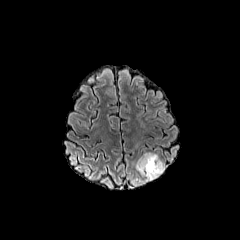
FLAIR MR.
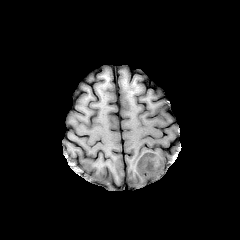
T1-weighted MR image.
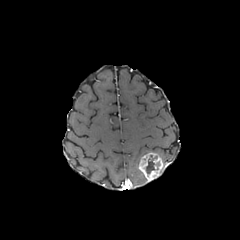
Post-contrast T1-weighted MRI of the same slice.
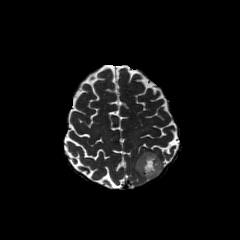
Same slice, T2-weighted magnetic resonance.
Axial slice, 240x240
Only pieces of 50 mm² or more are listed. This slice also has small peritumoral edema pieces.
enhancing tumor: bounding box <box>138,152,163,180</box>
necrotic tumor core: bounding box <box>146,155,159,173</box>